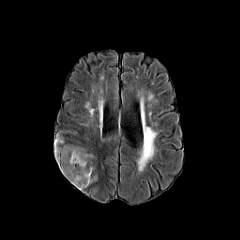
FLAIR magnetic resonance.
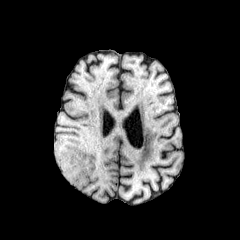
T1-weighted MRI.
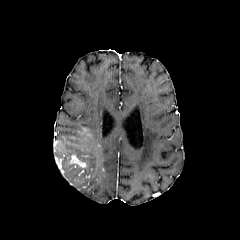
Post-contrast T1-weighted MR of the same slice.
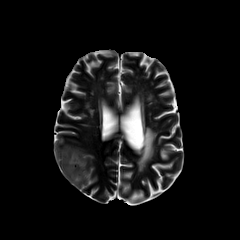
Same slice, T2-weighted MR image.
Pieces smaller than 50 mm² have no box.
The 2 largest peritumoral edema regions appear at (61,156,95,190), (54,136,92,164). The enhancing tumor lies within (69,155,86,168).